FLAIR MR.
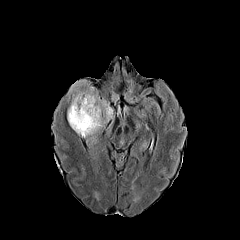
T1-weighted MR.
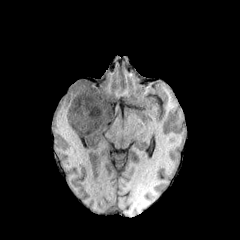
Post-contrast T1-weighted MR.
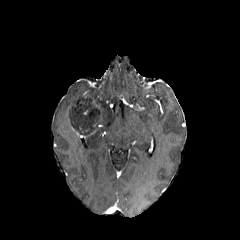
T2-weighted MR image.
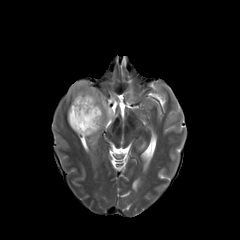
Head.
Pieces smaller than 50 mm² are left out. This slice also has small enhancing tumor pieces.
{
  "necrotic_tumor_core": [
    "69,96,103,135"
  ],
  "peritumoral_edema": [
    "85,87,114,126",
    "68,80,85,105"
  ]
}